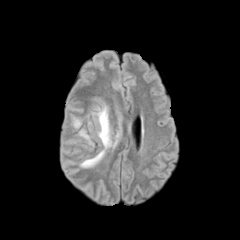
FLAIR MR.
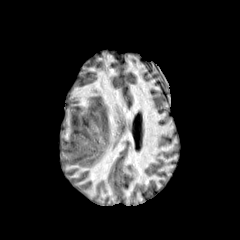
T1-weighted MR.
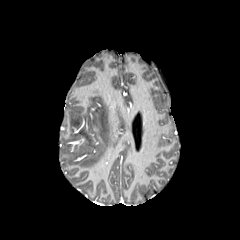
Post-contrast T1-weighted magnetic resonance of the same slice.
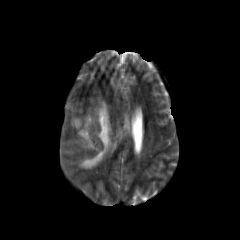
T2-weighted MR image of the same slice.
240x240 px. Brain.
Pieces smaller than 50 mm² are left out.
The 2 largest peritumoral edema regions appear at x1=80 y1=130 x2=93 y2=147, x1=81 y1=106 x2=111 y2=167.